FLAIR MRI.
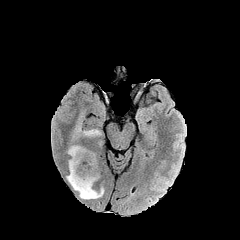
T1-weighted MR.
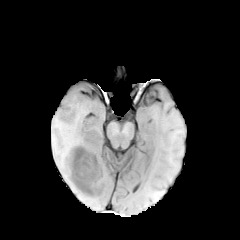
Post-contrast T1-weighted MR image.
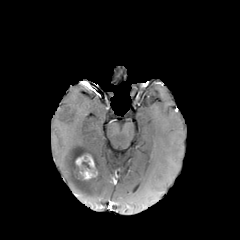
T2-weighted MRI.
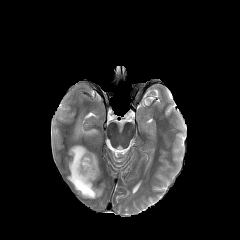
240x240
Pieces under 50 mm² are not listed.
The 2 largest necrotic tumor core regions are bounded by (left=75, top=161, right=91, bottom=178), (left=85, top=134, right=95, bottom=142). The 2 largest peritumoral edema regions appear at (left=66, top=145, right=104, bottom=199), (left=73, top=121, right=101, bottom=139). The largest enhancing tumor region is bounded by (left=75, top=153, right=97, bottom=179).